FLAIR magnetic resonance.
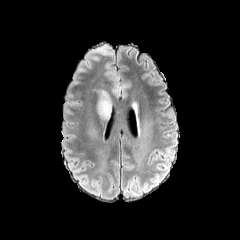
T1-weighted MRI.
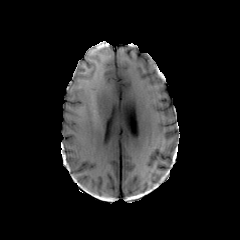
Post-contrast T1-weighted magnetic resonance.
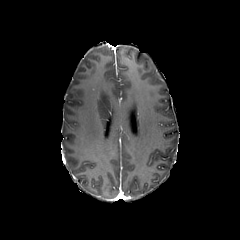
T2-weighted MR image.
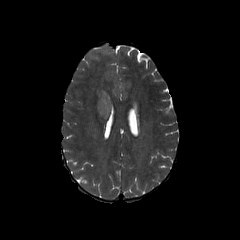
The peritumoral edema lies within region(97, 89, 111, 119).